Image size 240x240
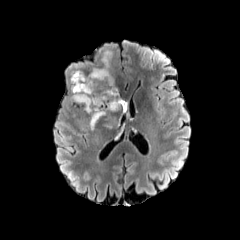
FLAIR MRI.
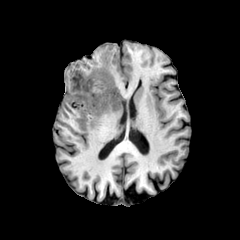
T1-weighted magnetic resonance.
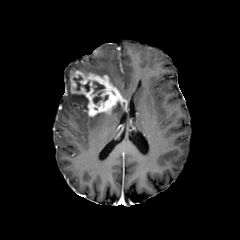
Post-contrast T1-weighted MRI.
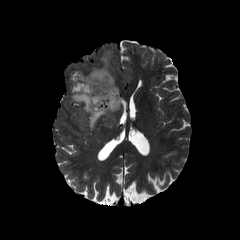
T2-weighted magnetic resonance.
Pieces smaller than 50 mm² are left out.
The enhancing tumor lies within (70,70,127,116). The 3 largest peritumoral edema regions appear at (89,113,118,130), (91,51,114,85), (71,94,87,110). The 3 largest necrotic tumor core regions are bounded by (73,76,89,91), (93,81,104,92), (93,92,102,103).